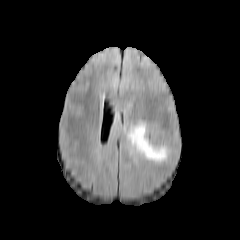
FLAIR MRI.
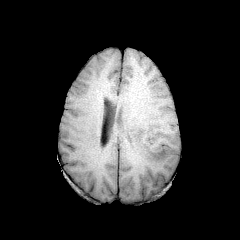
T1-weighted MR.
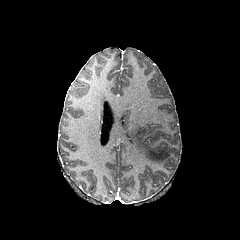
Post-contrast T1-weighted magnetic resonance of the same slice.
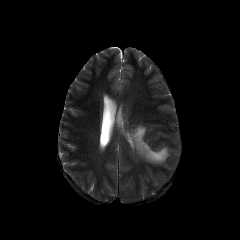
Same slice, T2-weighted MR.
Axial view, 240x240 px
Annotated regions:
* peritumoral edema: x1=126 y1=122 x2=169 y2=163